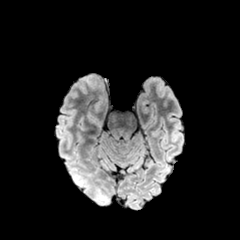
FLAIR MR image.
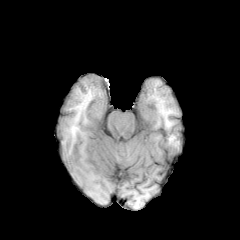
Same slice, T1-weighted magnetic resonance.
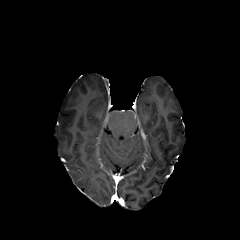
Post-contrast T1-weighted MR of the same slice.
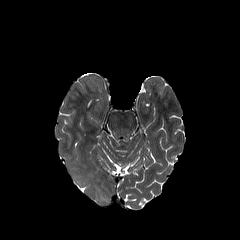
T2-weighted magnetic resonance.
Brain | 240x240
<segmentation>
  <peritumoral_edema>region(73, 175, 83, 185); region(97, 189, 108, 203)</peritumoral_edema>
</segmentation>